Image width 240 mm. Image size 240x240. Slice index 74. Axial slice.
FLAIR magnetic resonance.
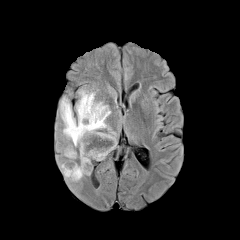
T1-weighted MR.
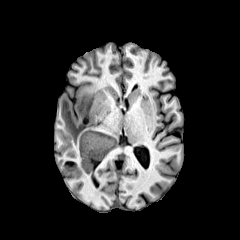
Post-contrast T1-weighted magnetic resonance.
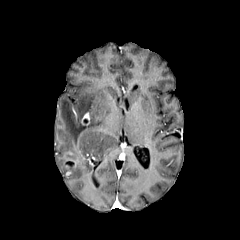
T2-weighted MR image.
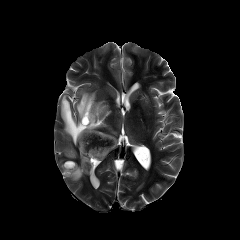
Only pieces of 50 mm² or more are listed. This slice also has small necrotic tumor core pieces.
peritumoral edema at 64:145:76:158, 60:89:116:180
enhancing tumor at 81:112:89:125, 65:160:76:168